Slice 89/155. Head. Axial slice.
FLAIR MR image.
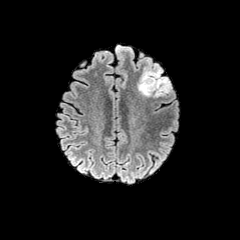
T1-weighted MR image.
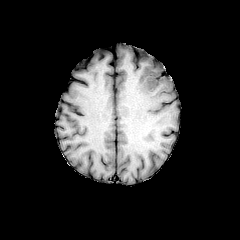
Post-contrast T1-weighted MRI.
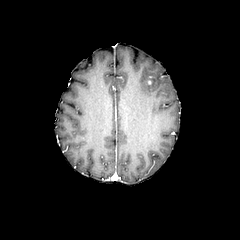
T2-weighted MR image.
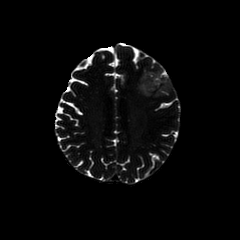
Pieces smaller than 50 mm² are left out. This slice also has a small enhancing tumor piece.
peritumoral_edema:
  - [x1=137, y1=68, x2=170, y2=97]